FLAIR MRI.
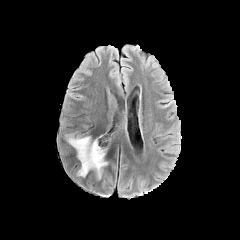
T1-weighted magnetic resonance.
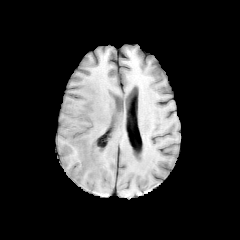
Post-contrast T1-weighted magnetic resonance.
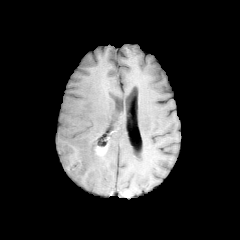
T2-weighted MRI.
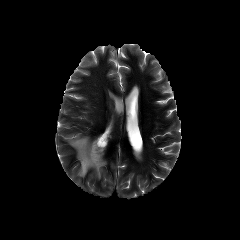
Image size 240x240; Head
enhancing tumor: box(95, 144, 109, 155) | peritumoral edema: box(65, 133, 108, 178)